FLAIR magnetic resonance.
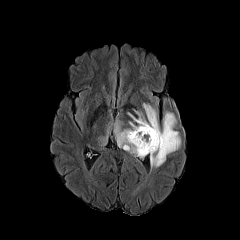
T1-weighted MRI.
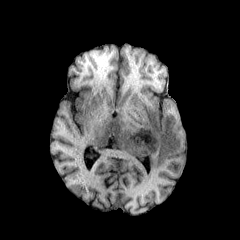
Post-contrast T1-weighted MRI.
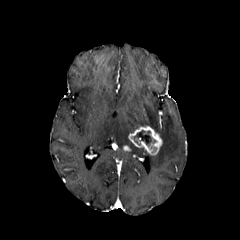
T2-weighted MRI.
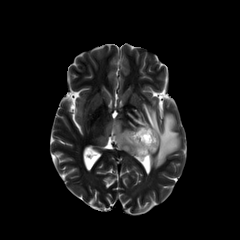
240x240 px.
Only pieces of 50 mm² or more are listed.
The enhancing tumor is bounded by <bbox>128, 126, 162, 155</bbox>. The largest necrotic tumor core region is located at <bbox>133, 130, 156, 146</bbox>. The peritumoral edema is at <bbox>100, 103, 180, 167</bbox>.